Slice 49/155; 240x240
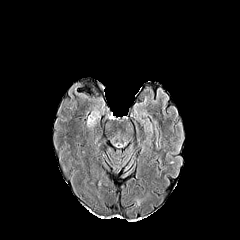
FLAIR MR image.
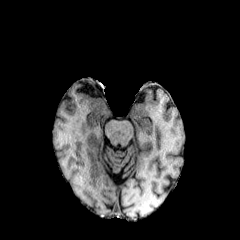
T1-weighted MR.
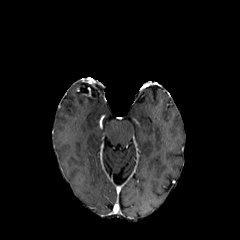
Post-contrast T1-weighted magnetic resonance.
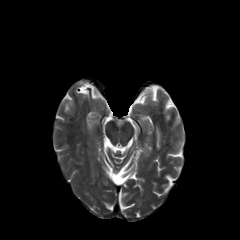
T2-weighted MRI.
Annotated regions:
• peritumoral edema: box=[87, 111, 98, 127]